Image covers 240 mm x 240 mm | Image size 240x240
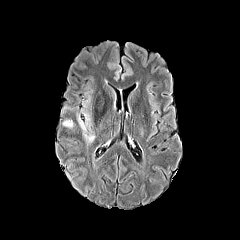
FLAIR MR image.
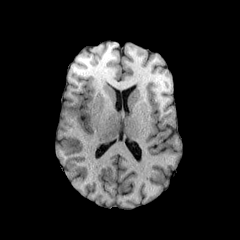
T1-weighted MR.
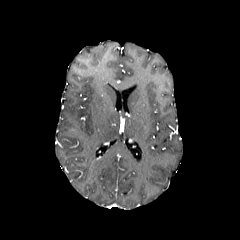
Post-contrast T1-weighted MR image.
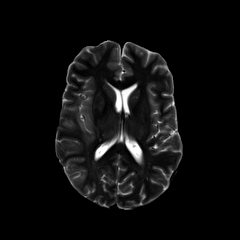
T2-weighted MR image of the same slice.
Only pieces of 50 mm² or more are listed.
peritumoral edema = region(63, 121, 72, 127); region(84, 112, 90, 126)